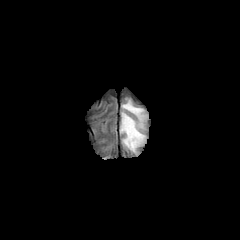
FLAIR magnetic resonance.
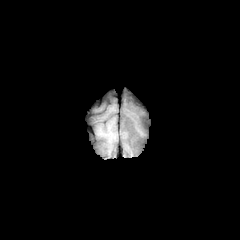
T1-weighted MR image.
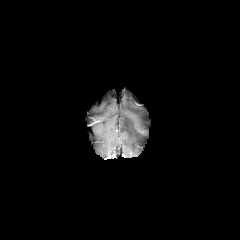
Post-contrast T1-weighted magnetic resonance.
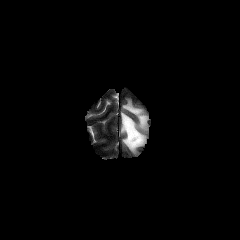
T2-weighted MR image of the same slice.
Image size 240x240 | Brain
peritumoral edema: <bbox>120, 99, 147, 153</bbox>